Axial plane.
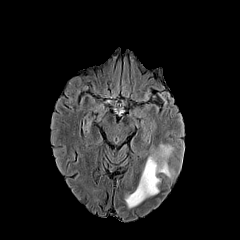
FLAIR MRI.
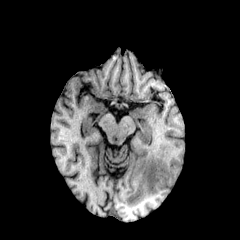
T1-weighted MRI.
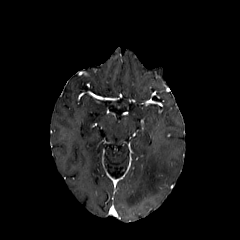
Post-contrast T1-weighted MR of the same slice.
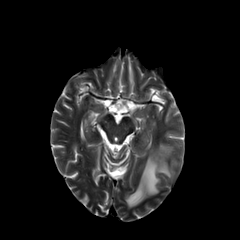
T2-weighted MRI.
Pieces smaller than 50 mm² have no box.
The largest peritumoral edema region is at <bbox>125, 143, 174, 208</bbox>.